FLAIR MR.
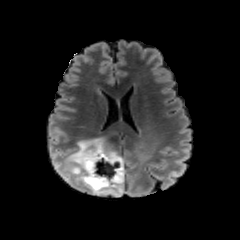
T1-weighted MRI.
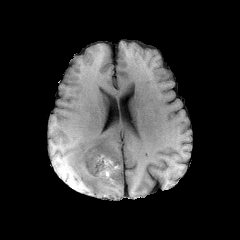
Post-contrast T1-weighted MR.
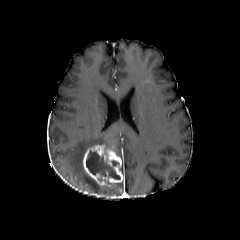
T2-weighted MR image.
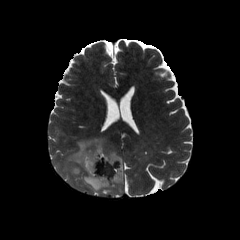
Axial view
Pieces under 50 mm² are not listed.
Findings:
- enhancing tumor: 83, 144, 123, 188
- necrotic tumor core: 86, 151, 120, 179
- peritumoral edema: 65, 137, 124, 194